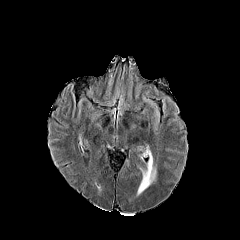
FLAIR MR.
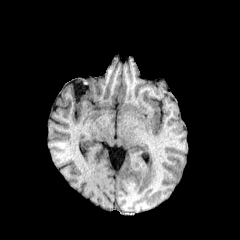
T1-weighted MRI.
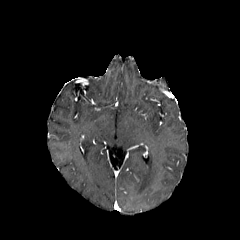
Post-contrast T1-weighted magnetic resonance of the same slice.
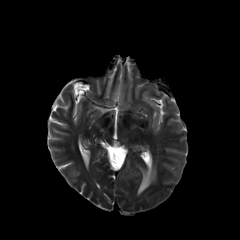
T2-weighted MRI.
Head. Axial view.
peritumoral edema — 137,152,156,194